FLAIR MR.
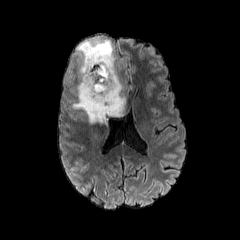
T1-weighted MR image.
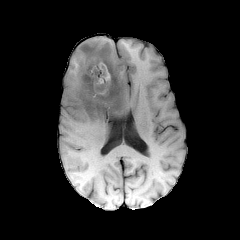
Post-contrast T1-weighted MRI.
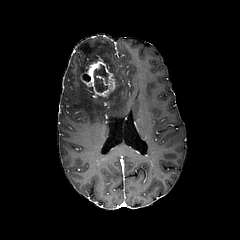
T2-weighted magnetic resonance.
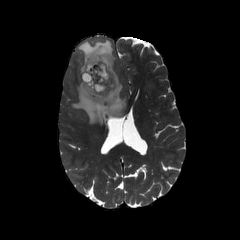
Head. 240x240 px.
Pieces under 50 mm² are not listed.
* enhancing tumor: [81,58,116,98]
* peritumoral edema: [69,38,125,123]
* necrotic tumor core: [93,64,108,92]